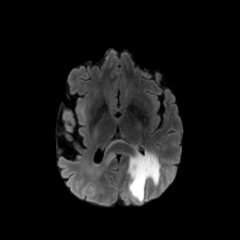
FLAIR MR image.
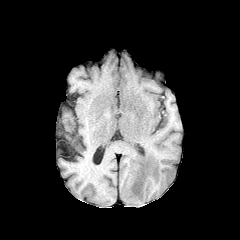
Same slice, T1-weighted MR.
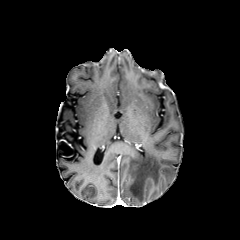
Post-contrast T1-weighted magnetic resonance.
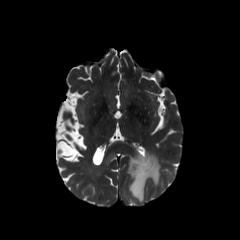
T2-weighted magnetic resonance of the same slice.
Brain, Image size 240x240
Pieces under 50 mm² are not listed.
<segmentation>
  <peritumoral_edema>128:151:160:202</peritumoral_edema>
</segmentation>